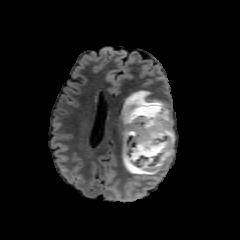
FLAIR MRI.
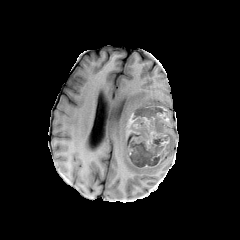
T1-weighted MRI.
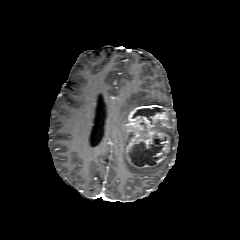
Same slice, post-contrast T1-weighted MR.
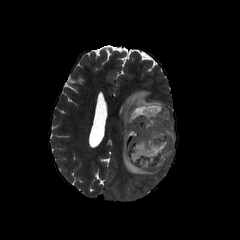
T2-weighted magnetic resonance.
Brain
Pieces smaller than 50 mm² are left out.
* enhancing tumor: 127 104 172 168
* peritumoral edema: 122 90 173 176
* necrotic tumor core: 132 108 164 124, 129 138 167 165